240x240
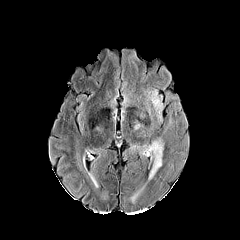
FLAIR MR.
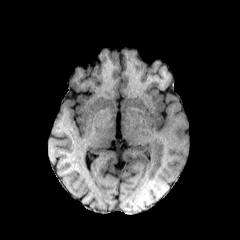
T1-weighted MR image of the same slice.
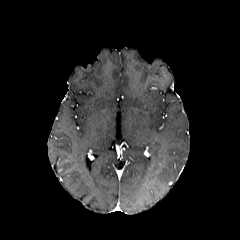
Post-contrast T1-weighted MR image of the same slice.
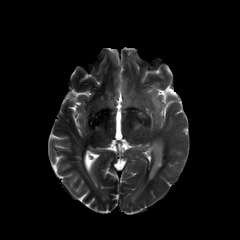
T2-weighted MRI.
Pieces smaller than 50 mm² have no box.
peritumoral edema: bounding box l=148, t=139, r=163, b=179